Image width 240 mm, 1.00 mm slice spacing; Brain
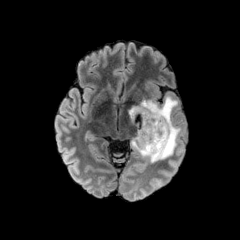
FLAIR magnetic resonance.
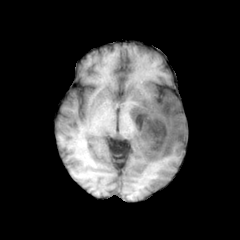
T1-weighted MRI of the same slice.
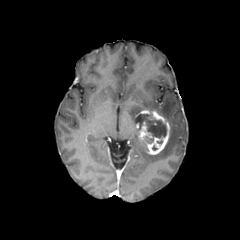
Post-contrast T1-weighted MR image of the same slice.
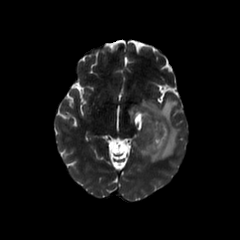
T2-weighted MR image.
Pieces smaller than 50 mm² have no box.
The largest necrotic tumor core region lies within box(146, 119, 166, 137). The largest enhancing tumor region is located at box(138, 109, 170, 154). The peritumoral edema is bounded by box(129, 96, 181, 162).